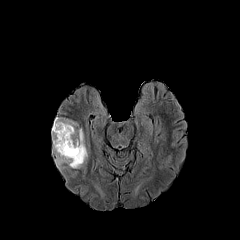
FLAIR MR image.
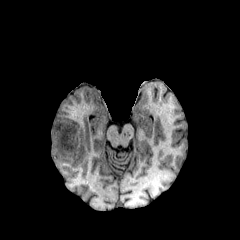
T1-weighted MR.
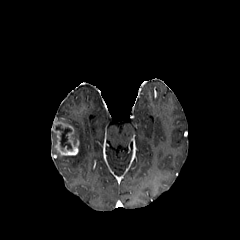
Post-contrast T1-weighted MR image of the same slice.
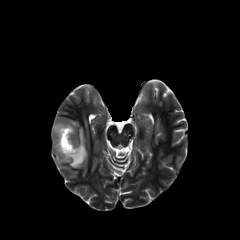
T2-weighted magnetic resonance.
240x240 px; Head
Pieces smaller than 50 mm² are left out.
Segmented structures:
- enhancing tumor: (51, 118, 79, 155)
- necrotic tumor core: (55, 125, 72, 150)
- peritumoral edema: (51, 119, 87, 168)